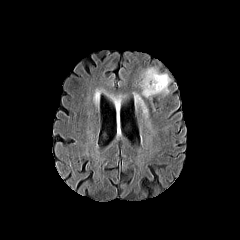
FLAIR MR.
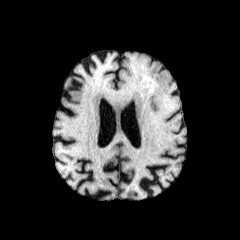
T1-weighted MR.
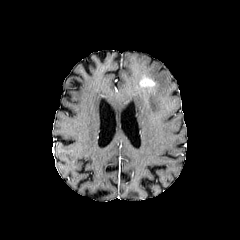
Post-contrast T1-weighted MR image of the same slice.
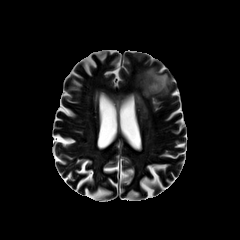
T2-weighted MR of the same slice.
Axial plane; Brain
Segmented structures:
* enhancing tumor: 140 77 155 88
* peritumoral edema: 141 67 170 97, 134 93 147 113